FLAIR MR.
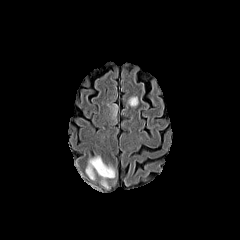
T1-weighted MR.
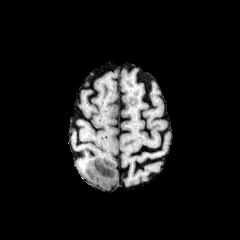
Post-contrast T1-weighted MR.
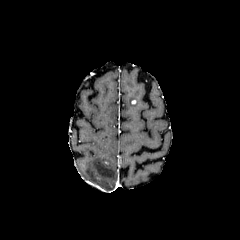
T2-weighted MR.
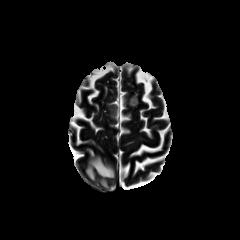
Image size 240x240; Head
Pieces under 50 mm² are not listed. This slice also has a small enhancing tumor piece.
Segmented structures:
- peritumoral edema: x1=107, y1=103, x2=118, y2=123; x1=85, y1=155, x2=115, y2=189; x1=127, y1=94, x2=139, y2=107